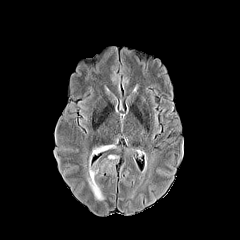
FLAIR MR.
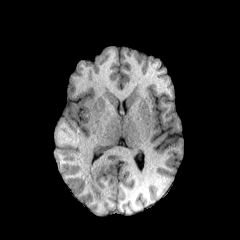
T1-weighted magnetic resonance.
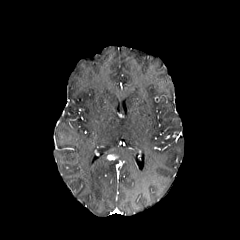
Same slice, post-contrast T1-weighted MR image.
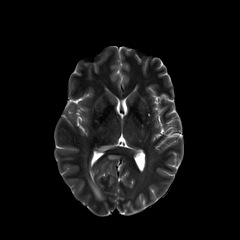
T2-weighted MR image.
Axial plane.
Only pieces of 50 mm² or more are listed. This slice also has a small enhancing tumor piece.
peritumoral edema: bounding box [x1=91, y1=145, x2=112, y2=158], [x1=88, y1=159, x2=104, y2=200]